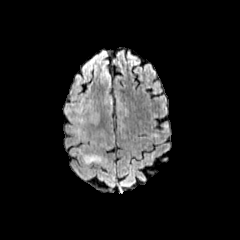
FLAIR MR.
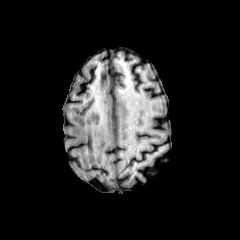
Same slice, T1-weighted MR image.
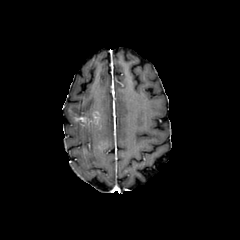
Same slice, post-contrast T1-weighted magnetic resonance.
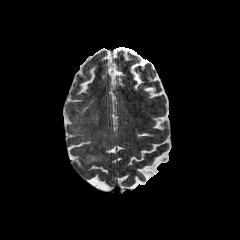
Same slice, T2-weighted MR.
Axial view | Head
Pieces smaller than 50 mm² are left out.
The 2 largest peritumoral edema regions are located at (left=83, top=154, right=102, bottom=164), (left=71, top=124, right=84, bottom=139). The largest enhancing tumor region is at (left=75, top=112, right=99, bottom=125).